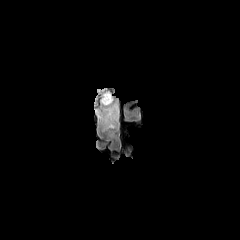
FLAIR MR.
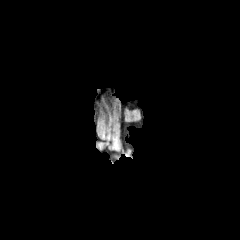
T1-weighted MR image.
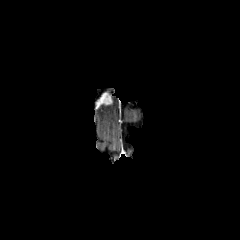
Post-contrast T1-weighted MRI.
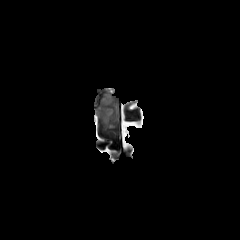
T2-weighted MR image.
Head.
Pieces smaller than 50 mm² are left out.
peritumoral_edema:
  - region(95, 97, 118, 130)
enhancing_tumor:
  - region(99, 92, 112, 104)